Head
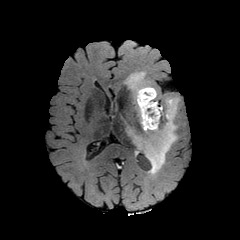
FLAIR magnetic resonance.
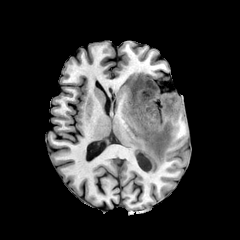
T1-weighted MR image.
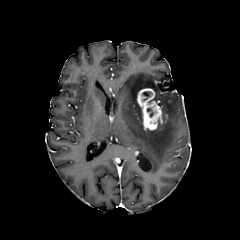
Post-contrast T1-weighted MR.
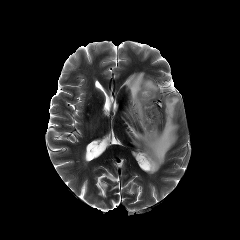
T2-weighted MR image.
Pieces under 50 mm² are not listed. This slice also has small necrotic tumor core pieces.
enhancing tumor: [x1=137, y1=88, x2=162, y2=130]
peritumoral edema: [x1=125, y1=71, x2=179, y2=174]